Brain. Image width 240 mm.
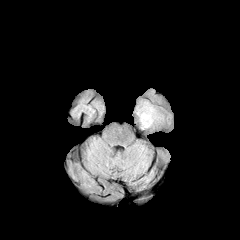
FLAIR magnetic resonance.
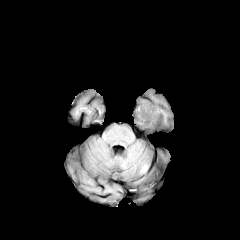
Same slice, T1-weighted MRI.
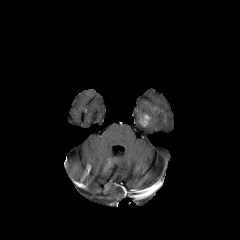
Post-contrast T1-weighted MR.
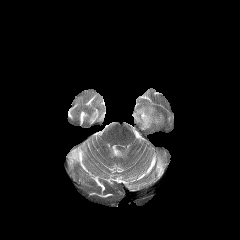
Same slice, T2-weighted MR image.
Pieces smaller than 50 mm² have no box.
peritumoral edema — [136,103,159,129]
enhancing tumor — [139,113,151,126]